Axial view, 240x240 px, Head, Slice index 81
FLAIR MR image.
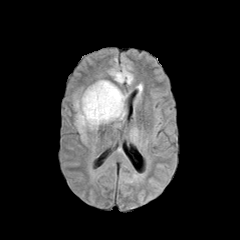
T1-weighted MRI.
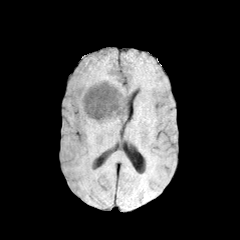
Post-contrast T1-weighted MR image.
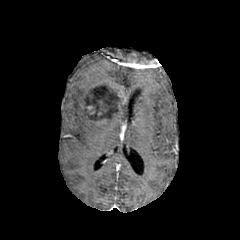
T2-weighted MRI.
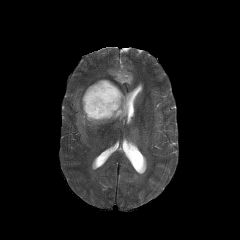
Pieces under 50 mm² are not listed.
Findings:
• peritumoral edema: x1=74 y1=79 x2=120 y2=137, x1=102 y1=102 x2=126 y2=123, x1=108 y1=67 x2=133 y2=84
• necrotic tumor core: x1=86 y1=84 x2=121 y2=120
• enhancing tumor: x1=83 y1=81 x2=125 y2=123